240x240
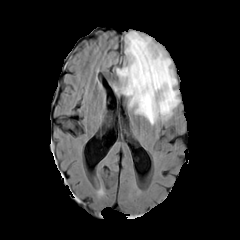
FLAIR MR.
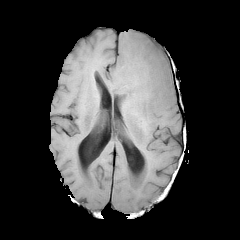
T1-weighted MRI of the same slice.
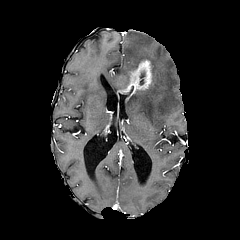
Post-contrast T1-weighted MR of the same slice.
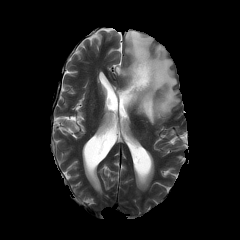
T2-weighted MRI.
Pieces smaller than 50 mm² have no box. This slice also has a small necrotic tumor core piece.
* enhancing tumor: (x1=119, y1=59, x2=153, y2=95)
* peritumoral edema: (x1=114, y1=31, x2=178, y2=124)